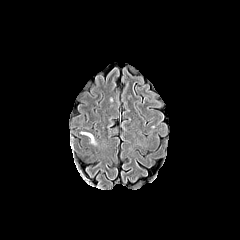
FLAIR MRI.
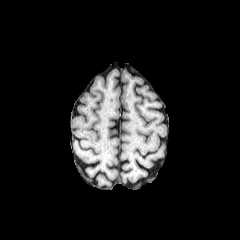
Same slice, T1-weighted MRI.
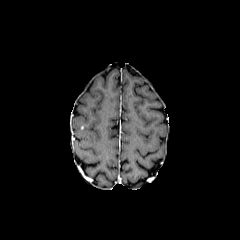
Post-contrast T1-weighted MRI of the same slice.
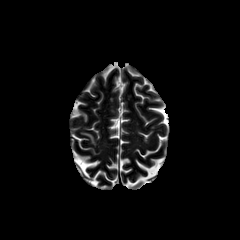
T2-weighted MR of the same slice.
240x240 | Head | Axial plane
<segmentation>
  <peritumoral_edema>(81,132,95,144)</peritumoral_edema>
</segmentation>